Image covers 240 mm x 240 mm, Head, Axial view, Slice 49/155
FLAIR MRI.
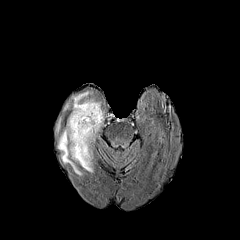
T1-weighted magnetic resonance.
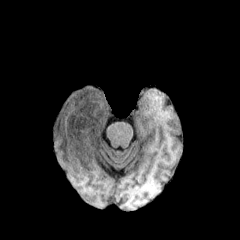
Post-contrast T1-weighted MR.
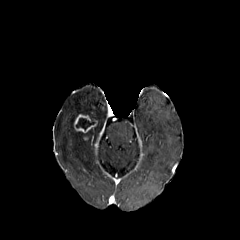
T2-weighted MR image.
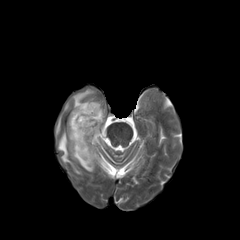
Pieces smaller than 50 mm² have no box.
{"necrotic_tumor_core": ["x1=76 y1=118 x2=95 y2=130"], "peritumoral_edema": ["x1=58 y1=91 x2=104 y2=175", "x1=56 y1=118 x2=61 y2=132"], "enhancing_tumor": ["x1=74 y1=114 x2=97 y2=132"]}